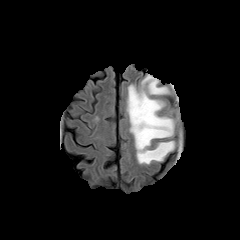
FLAIR MR image.
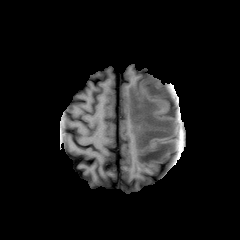
Same slice, T1-weighted magnetic resonance.
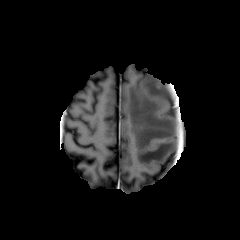
Same slice, post-contrast T1-weighted MR.
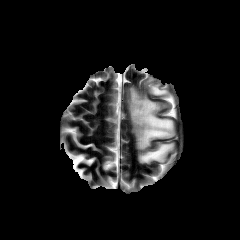
Same slice, T2-weighted MR image.
Axial view; Head
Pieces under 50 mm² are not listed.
<segmentation>
  <peritumoral_edema>l=127, t=74, r=175, b=164</peritumoral_edema>
</segmentation>